Slice 102 of 155.
FLAIR magnetic resonance.
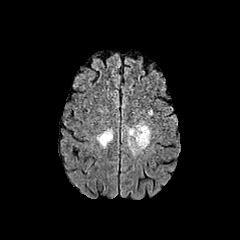
T1-weighted MRI.
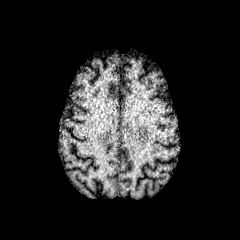
Post-contrast T1-weighted MR image.
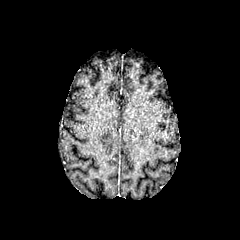
T2-weighted magnetic resonance.
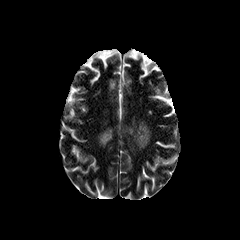
<segmentation>
  <peritumoral_edema>97, 128, 113, 147; 126, 121, 150, 153</peritumoral_edema>
</segmentation>